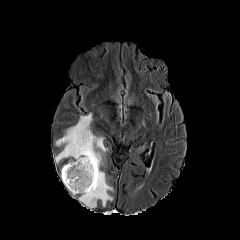
FLAIR magnetic resonance.
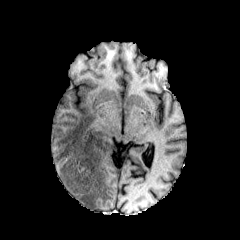
Same slice, T1-weighted MR image.
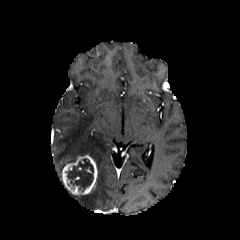
Post-contrast T1-weighted magnetic resonance of the same slice.
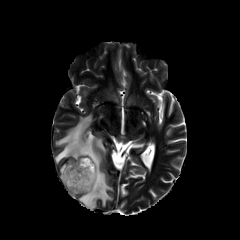
Same slice, T2-weighted MRI.
240x240 px. Brain.
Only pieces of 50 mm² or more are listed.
The necrotic tumor core is at left=66, top=158, right=93, bottom=191. The largest peritumoral edema region is at left=54, top=113, right=113, bottom=210. The largest enhancing tumor region is at left=61, top=154, right=97, bottom=194.